FLAIR magnetic resonance.
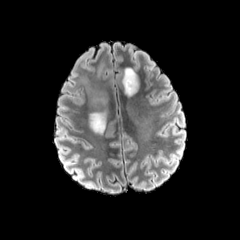
T1-weighted MR.
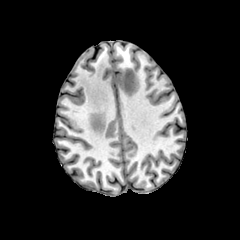
Post-contrast T1-weighted MR image.
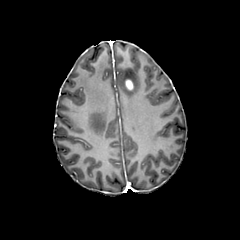
T2-weighted MR image.
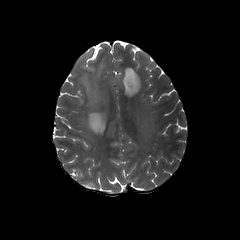
Axial slice.
Findings:
* enhancing tumor: (125, 79, 133, 90)
* peritumoral edema: (122, 65, 140, 97), (79, 58, 109, 133)